Slice 98/155
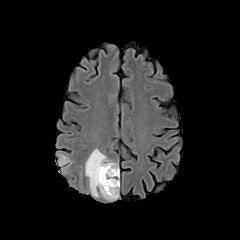
FLAIR MR.
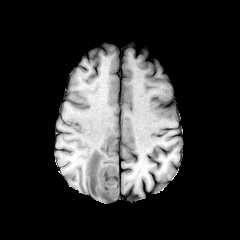
T1-weighted magnetic resonance of the same slice.
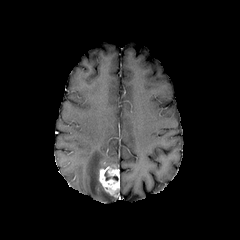
Post-contrast T1-weighted MR of the same slice.
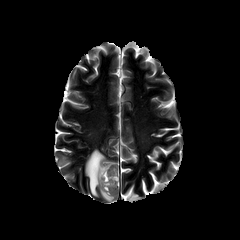
Same slice, T2-weighted MRI.
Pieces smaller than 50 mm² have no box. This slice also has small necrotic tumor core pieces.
The enhancing tumor is located at 99, 165, 117, 197. 2 peritumoral edema regions are bounded by 85, 148, 117, 200; 58, 155, 71, 165.